Image width 240 mm, 1.00 mm slice spacing, Slice index 102, Brain
FLAIR MR.
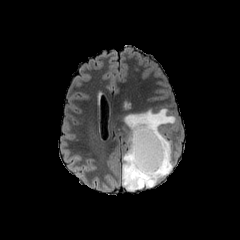
T1-weighted MR.
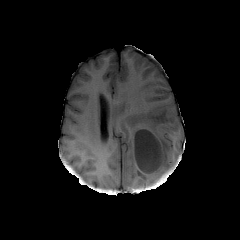
Post-contrast T1-weighted MR.
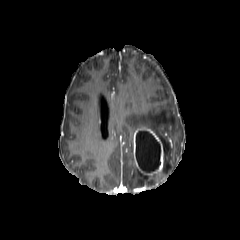
T2-weighted magnetic resonance.
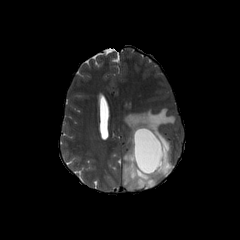
<segmentation>
  <peritumoral_edema>bbox(122, 108, 176, 190)</peritumoral_edema>
  <enhancing_tumor>bbox(133, 127, 167, 175)</enhancing_tumor>
  <necrotic_tumor_core>bbox(135, 130, 160, 172)</necrotic_tumor_core>
</segmentation>